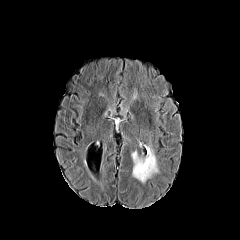
FLAIR MRI.
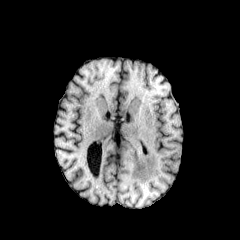
T1-weighted MRI of the same slice.
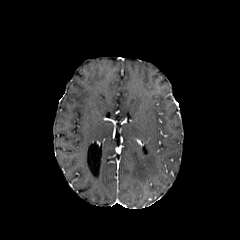
Post-contrast T1-weighted MRI of the same slice.
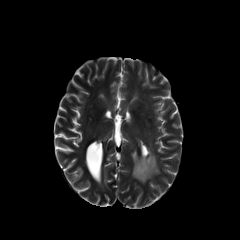
T2-weighted MR image.
Axial plane. Brain. 240x240.
The peritumoral edema lies within left=132, top=147, right=158, bottom=182.